240x240. Axial plane.
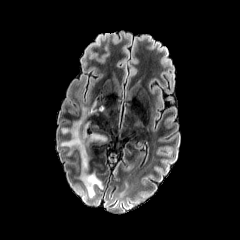
FLAIR magnetic resonance.
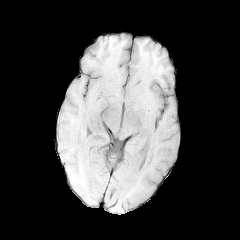
T1-weighted MRI.
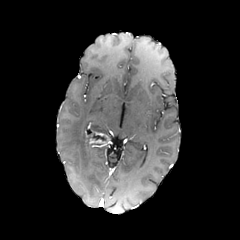
Post-contrast T1-weighted MRI.
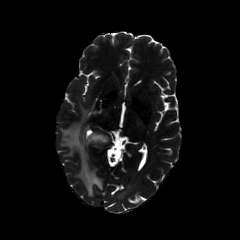
Same slice, T2-weighted MRI.
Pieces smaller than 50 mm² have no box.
The largest peritumoral edema region is located at [62,101,101,195]. The enhancing tumor appears at [87,132,109,146]. The necrotic tumor core is located at [92,134,105,140].